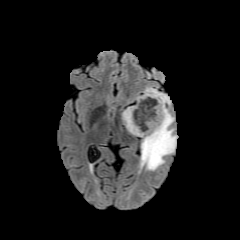
FLAIR magnetic resonance.
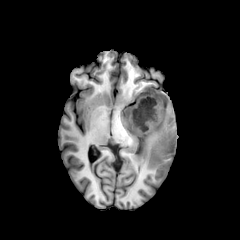
T1-weighted magnetic resonance of the same slice.
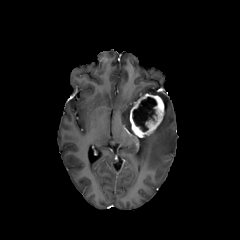
Same slice, post-contrast T1-weighted magnetic resonance.
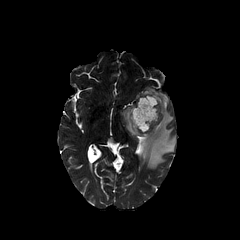
T2-weighted MR image of the same slice.
Axial slice.
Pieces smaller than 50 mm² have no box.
Annotated regions:
• necrotic tumor core: [133,97,156,131]
• peritumoral edema: [140,87,176,170], [121,107,135,135]
• enhancing tumor: [129,93,164,137]